FLAIR MR image.
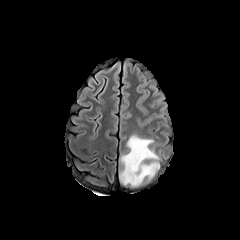
T1-weighted MR.
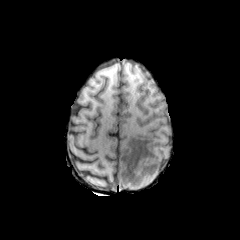
Post-contrast T1-weighted MR image.
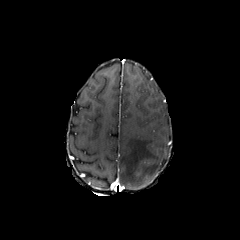
T2-weighted MR.
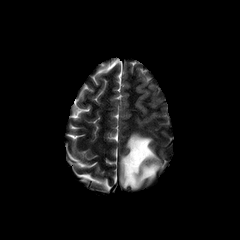
Head
peritumoral_edema:
  - <box>120,134,160,187</box>